Slice 96/155. 240x240 px.
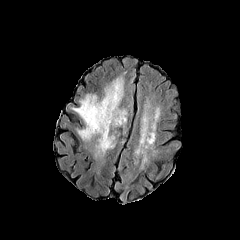
FLAIR magnetic resonance.
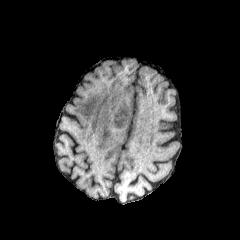
Same slice, T1-weighted MRI.
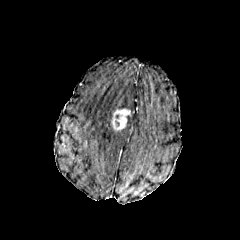
Post-contrast T1-weighted MR.
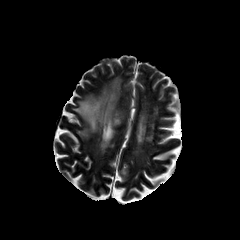
T2-weighted MR image.
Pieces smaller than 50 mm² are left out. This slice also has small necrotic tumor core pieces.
Segmented structures:
- peritumoral edema: x1=72 y1=79 x2=123 y2=155
- enhancing tumor: x1=111 y1=109 x2=130 y2=130